Head
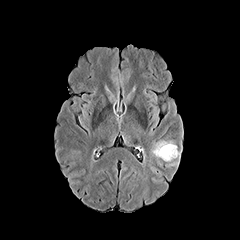
FLAIR MR.
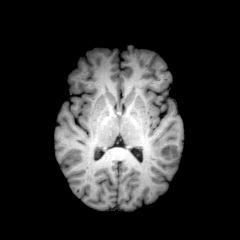
T1-weighted MR.
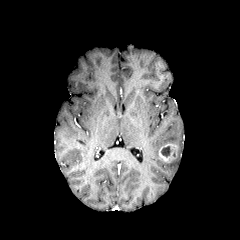
Same slice, post-contrast T1-weighted magnetic resonance.
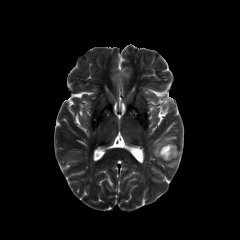
Same slice, T2-weighted MRI.
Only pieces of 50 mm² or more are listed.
* necrotic tumor core: 161,146,171,156
* peritumoral edema: 153,142,167,157
* enhancing tumor: 159,143,177,161